FLAIR MRI.
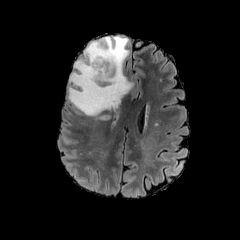
T1-weighted MR image.
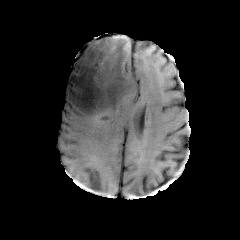
Post-contrast T1-weighted MRI.
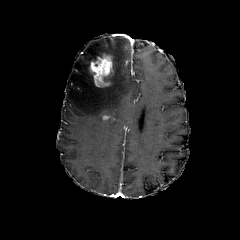
T2-weighted MR image.
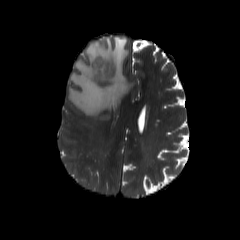
240x240
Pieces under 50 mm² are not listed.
enhancing_tumor:
  - 89:53:113:87
peritumoral_edema:
  - 67:36:132:116